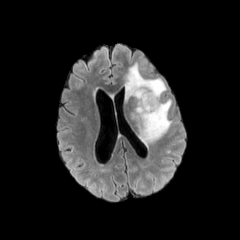
FLAIR MR.
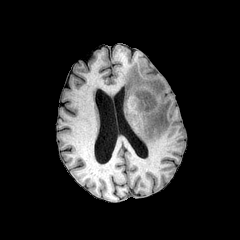
T1-weighted MR image.
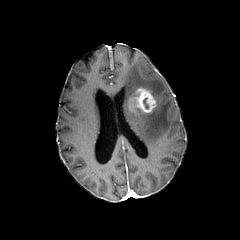
Same slice, post-contrast T1-weighted magnetic resonance.
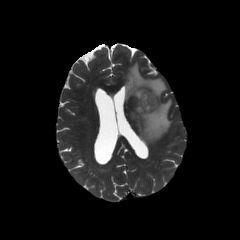
Same slice, T2-weighted MRI.
Head. Axial slice.
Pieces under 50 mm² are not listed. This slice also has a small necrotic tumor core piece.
peritumoral edema: bounding box <box>125,63,172,145</box>
enhancing tumor: bounding box <box>135,88,156,112</box>